FLAIR magnetic resonance.
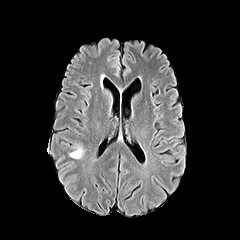
T1-weighted magnetic resonance.
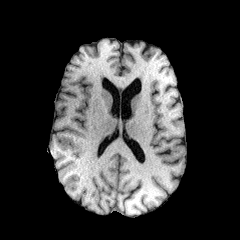
Post-contrast T1-weighted MR image.
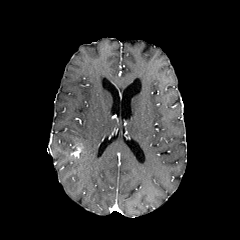
T2-weighted MR image.
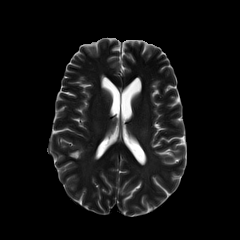
Head.
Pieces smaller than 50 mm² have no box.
Segmented structures:
• peritumoral edema: region(69, 147, 84, 158)
• enhancing tumor: region(71, 144, 82, 157)